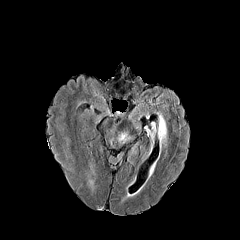
FLAIR magnetic resonance.
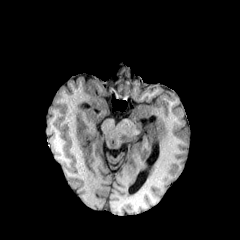
T1-weighted magnetic resonance of the same slice.
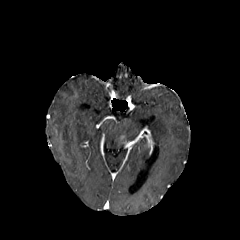
Same slice, post-contrast T1-weighted MR image.
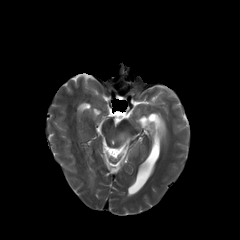
T2-weighted magnetic resonance.
Head; Axial plane; 240x240
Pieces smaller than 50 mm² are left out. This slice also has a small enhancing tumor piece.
{"peritumoral_edema": ["<box>156,113,167,149</box>", "<box>118,133,130,142</box>"]}